FLAIR magnetic resonance.
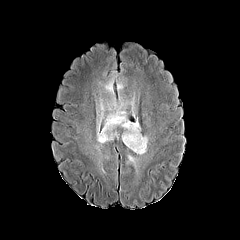
T1-weighted magnetic resonance.
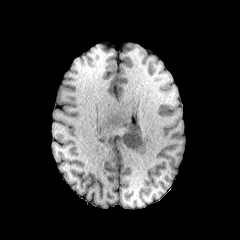
Post-contrast T1-weighted MRI.
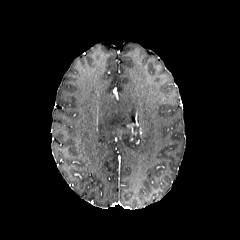
T2-weighted MRI.
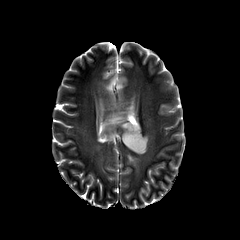
Axial plane. Head.
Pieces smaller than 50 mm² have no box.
<segmentation>
  <peritumoral_edema>[98, 98, 116, 127], [128, 155, 136, 165], [102, 77, 115, 93], [97, 97, 148, 154]</peritumoral_edema>
  <enhancing_tumor>[127, 122, 138, 134]</enhancing_tumor>
</segmentation>